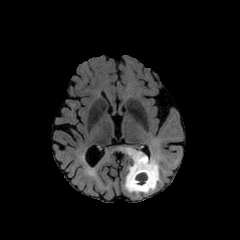
FLAIR magnetic resonance.
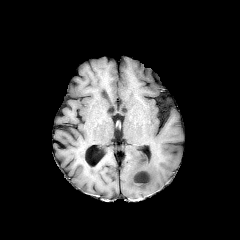
T1-weighted magnetic resonance.
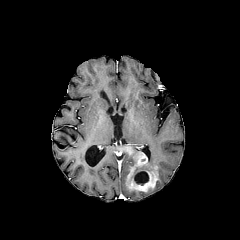
Post-contrast T1-weighted MR image of the same slice.
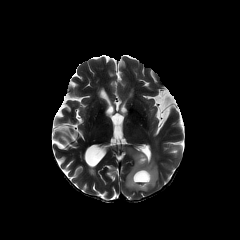
T2-weighted MR of the same slice.
Axial plane | Brain
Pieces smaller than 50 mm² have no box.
- peritumoral edema: <bbox>124, 155, 160, 194</bbox>
- necrotic tumor core: <bbox>133, 170, 148, 185</bbox>
- enhancing tumor: <bbox>126, 152, 158, 191</bbox>, <bbox>125, 147, 133, 154</bbox>